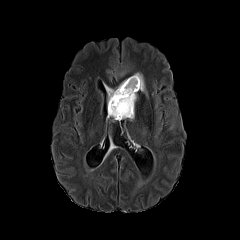
FLAIR MR image.
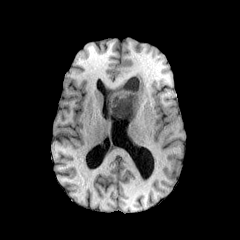
Same slice, T1-weighted magnetic resonance.
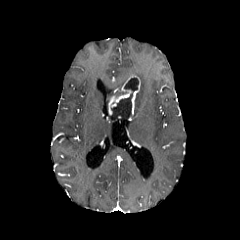
Same slice, post-contrast T1-weighted MR image.
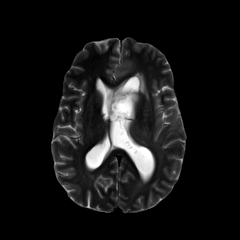
Same slice, T2-weighted magnetic resonance.
Brain.
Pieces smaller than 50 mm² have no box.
{"necrotic_tumor_core": ["x1=111 y1=78 x2=138 y2=119"], "enhancing_tumor": ["x1=108 y1=75 x2=140 y2=115"], "peritumoral_edema": ["x1=134 y1=72 x2=147 y2=95", "x1=104 y1=85 x2=113 y2=98"]}